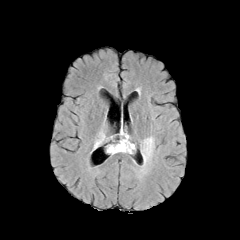
FLAIR MRI.
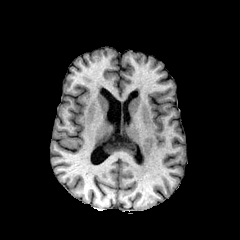
Same slice, T1-weighted magnetic resonance.
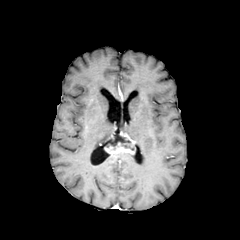
Post-contrast T1-weighted MRI of the same slice.
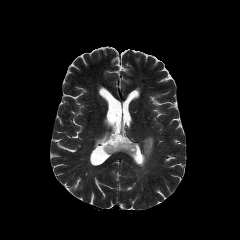
T2-weighted MR image.
240x240. Axial view.
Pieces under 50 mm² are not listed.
2 peritumoral edema regions are located at x1=94 y1=132 x2=113 y2=148, x1=141 y1=137 x2=154 y2=170. The largest enhancing tumor region lies within x1=104 y1=142 x2=134 y2=154. The necrotic tumor core is located at x1=103 y1=134 x2=135 y2=150.